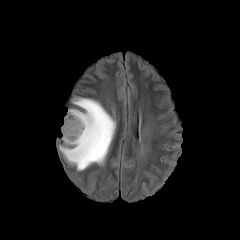
FLAIR MRI.
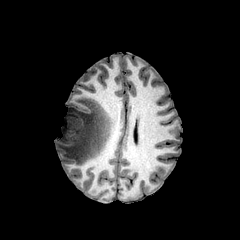
T1-weighted magnetic resonance.
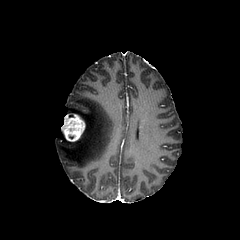
Post-contrast T1-weighted magnetic resonance of the same slice.
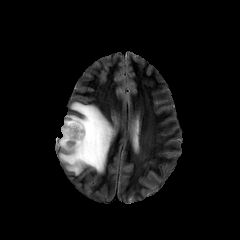
T2-weighted magnetic resonance.
240x240 px, Axial slice, Head
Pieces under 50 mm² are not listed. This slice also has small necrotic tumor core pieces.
The peritumoral edema is bounded by (left=58, top=97, right=116, bottom=170). The enhancing tumor is bounded by (left=61, top=114, right=85, bottom=141).